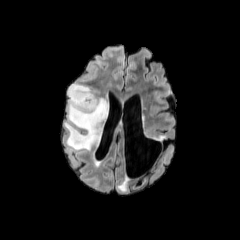
FLAIR MR image.
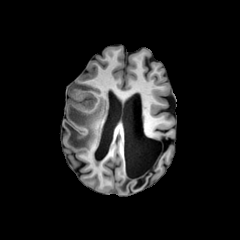
T1-weighted MRI of the same slice.
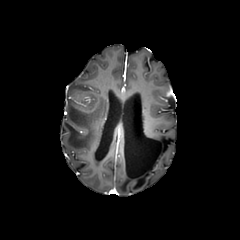
Post-contrast T1-weighted MR.
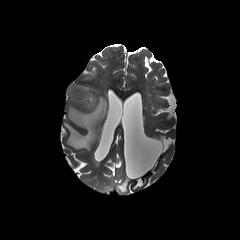
T2-weighted MRI of the same slice.
Head.
peritumoral edema: bounding box [x1=64, y1=83, x2=108, y2=150]